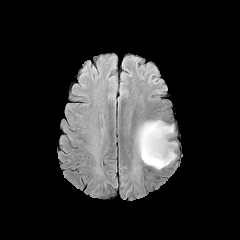
FLAIR MR.
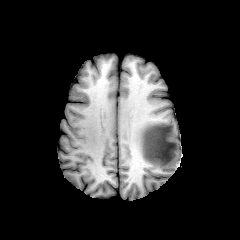
Same slice, T1-weighted magnetic resonance.
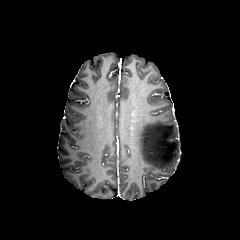
Post-contrast T1-weighted MRI.
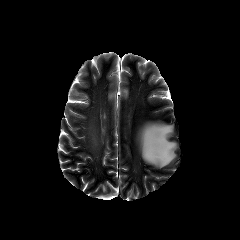
T2-weighted magnetic resonance.
Image size 240x240
peritumoral edema: x1=137 y1=120 x2=177 y2=169